FLAIR MR.
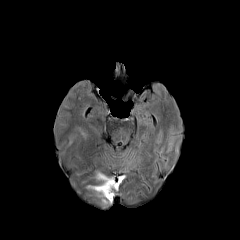
T1-weighted MRI.
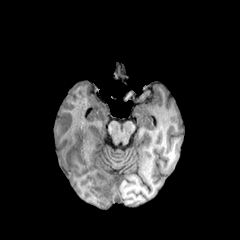
Post-contrast T1-weighted magnetic resonance.
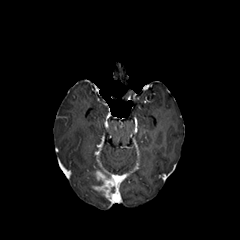
T2-weighted MRI.
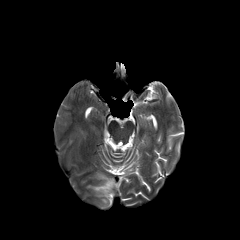
Head; Axial view
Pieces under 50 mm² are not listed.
Findings:
- peritumoral edema: left=97, top=192, right=110, bottom=203
- enhancing tumor: left=92, top=170, right=120, bottom=203